Slice 68 of 155 | Axial plane | Head
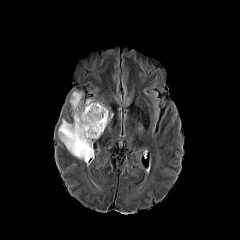
FLAIR MR.
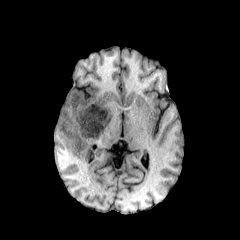
T1-weighted MR of the same slice.
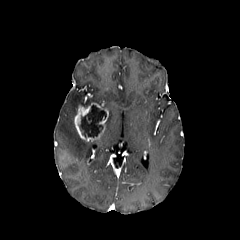
Post-contrast T1-weighted magnetic resonance.
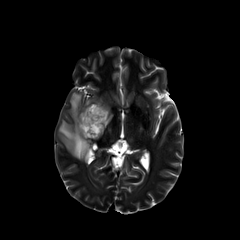
T2-weighted MR of the same slice.
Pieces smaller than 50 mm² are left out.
Segmented structures:
* enhancing tumor: 74 102 108 141
* necrotic tumor core: 79 105 106 138
* peritumoral edema: 58 119 92 162, 70 91 82 119, 85 98 101 105